Brain, Slice 41 of 155
FLAIR MR image.
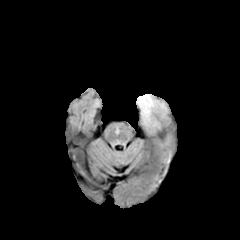
T1-weighted MRI.
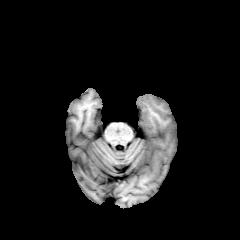
Post-contrast T1-weighted magnetic resonance.
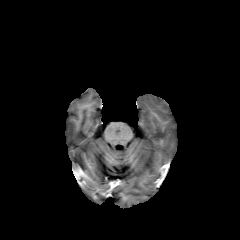
T2-weighted MR image.
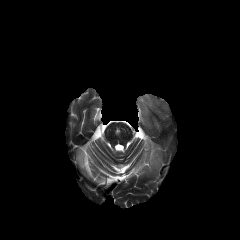
The peritumoral edema is located at 137 94 167 126.